Brain | Image size 240x240 | Axial view
FLAIR MRI.
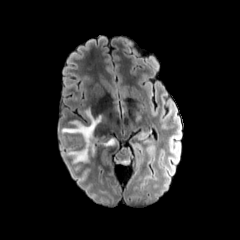
T1-weighted MR.
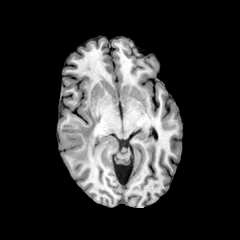
Post-contrast T1-weighted MRI.
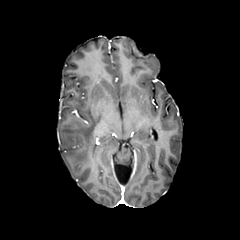
T2-weighted MR.
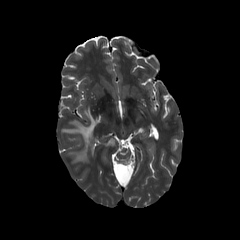
peritumoral edema: bbox=[62, 108, 101, 161]; bbox=[104, 139, 114, 145]